Brain. Image covers 240 mm x 240 mm. Image size 240x240.
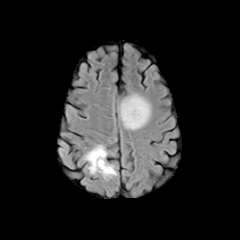
FLAIR MR image.
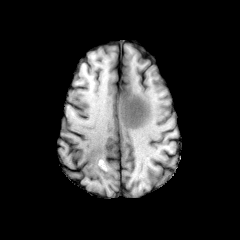
T1-weighted magnetic resonance.
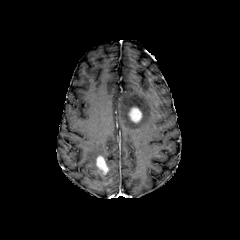
Same slice, post-contrast T1-weighted MR.
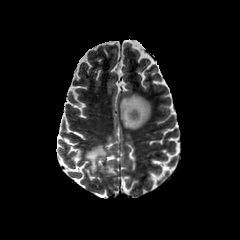
Same slice, T2-weighted MR.
{
  "peritumoral_edema": [
    "x1=102, y1=161, x2=116, y2=177",
    "x1=84, y1=145, x2=107, y2=173",
    "x1=119, y1=94, x2=150, y2=129"
  ],
  "enhancing_tumor": [
    "x1=128, y1=107, x2=142, y2=122",
    "x1=96, y1=156, x2=108, y2=174"
  ]
}